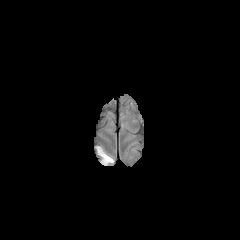
FLAIR MRI.
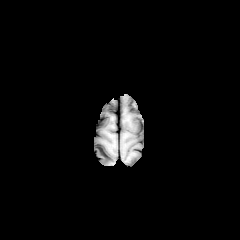
Same slice, T1-weighted MR image.
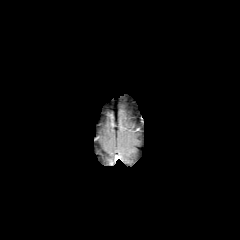
Post-contrast T1-weighted MR image.
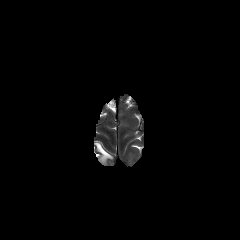
T2-weighted MR of the same slice.
240x240 | Brain
{
  "peritumoral_edema": [
    "(97, 146, 112, 164)"
  ]
}